FLAIR magnetic resonance.
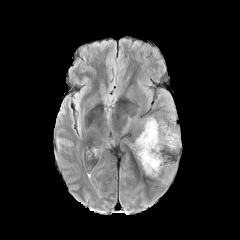
T1-weighted MRI.
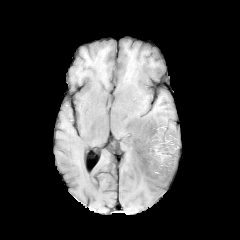
Post-contrast T1-weighted MR.
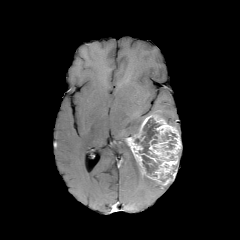
T2-weighted MRI.
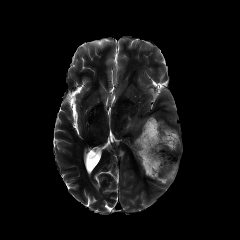
Head
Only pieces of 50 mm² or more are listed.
enhancing_tumor:
  - (127, 115, 181, 185)
necrotic_tumor_core:
  - (142, 155, 157, 174)
  - (135, 118, 160, 154)
  - (162, 132, 176, 140)